Slice 95/155.
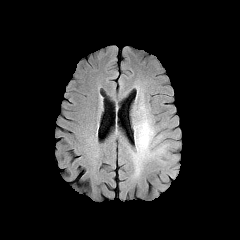
FLAIR MRI.
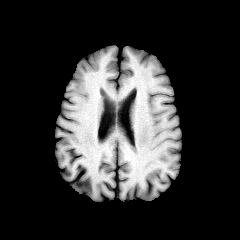
T1-weighted MR image.
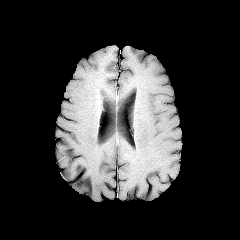
Post-contrast T1-weighted magnetic resonance.
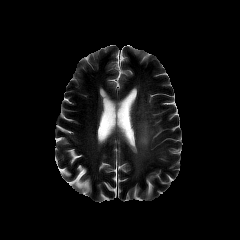
T2-weighted MRI.
Segmented structures:
- peritumoral edema: x1=135, y1=107, x2=154, y2=160